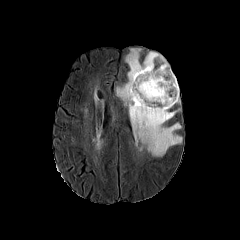
FLAIR MR image.
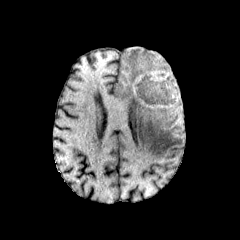
Same slice, T1-weighted MR.
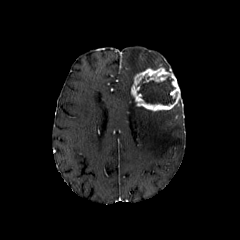
Post-contrast T1-weighted magnetic resonance of the same slice.
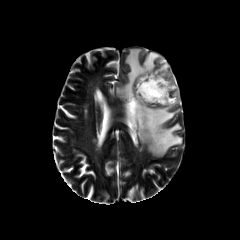
T2-weighted MR.
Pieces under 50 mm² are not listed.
Annotated regions:
• peritumoral edema: bbox=[116, 48, 182, 157]
• enhancing tumor: bbox=[131, 66, 180, 111]
• necrotic tumor core: bbox=[137, 76, 175, 104]